240x240 px, Head, Slice 68 of 155
FLAIR MRI.
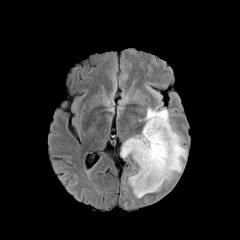
T1-weighted MR.
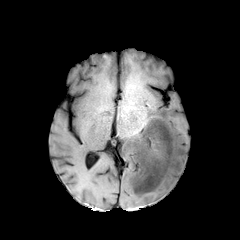
Post-contrast T1-weighted MRI.
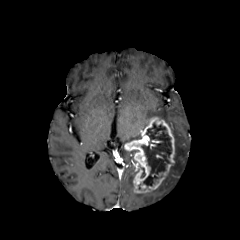
T2-weighted MR image.
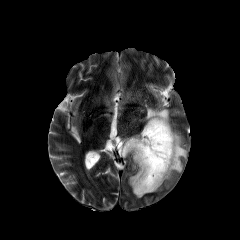
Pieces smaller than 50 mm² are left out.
The 3 largest peritumoral edema regions appear at (144, 108, 186, 192), (128, 174, 134, 188), (120, 134, 140, 157). The largest enhancing tumor region appears at (124, 117, 174, 193). The largest necrotic tumor core region appears at (142, 123, 171, 185).